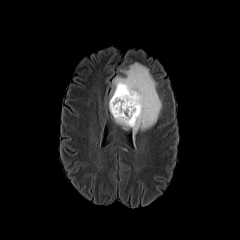
FLAIR MR image.
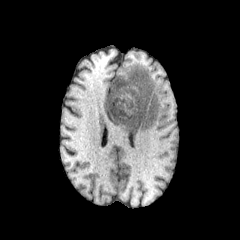
T1-weighted MR image of the same slice.
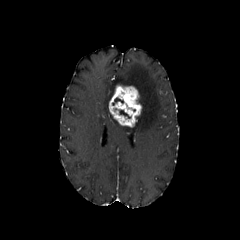
Post-contrast T1-weighted MR image of the same slice.
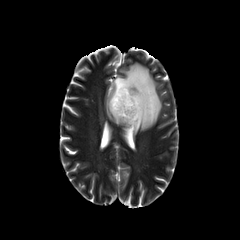
T2-weighted MR image.
Brain
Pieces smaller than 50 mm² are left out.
<segmentation>
  <peritumoral_edema><bbox>111, 62, 161, 136</bbox></peritumoral_edema>
  <enhancing_tumor><bbox>109, 85, 141, 127</bbox></enhancing_tumor>
  <necrotic_tumor_core><bbox>112, 97, 123, 105</bbox></necrotic_tumor_core>
</segmentation>